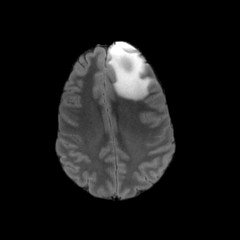
FLAIR MR image.
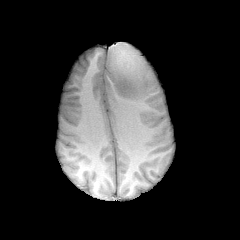
T1-weighted MR.
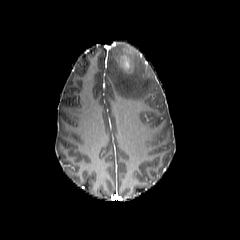
Same slice, post-contrast T1-weighted MR image.
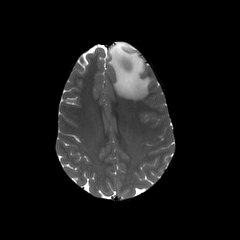
T2-weighted MRI.
Head. Axial slice.
peritumoral edema at {"x1": 107, "y1": 41, "x2": 154, "y2": 100}
enhancing tumor at {"x1": 123, "y1": 60, "x2": 130, "y2": 69}